Slice 93 of 155
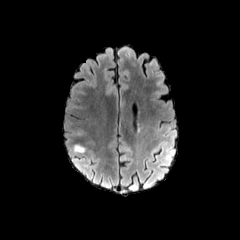
FLAIR magnetic resonance.
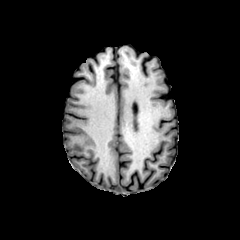
T1-weighted MR image.
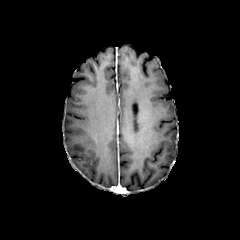
Post-contrast T1-weighted MR image.
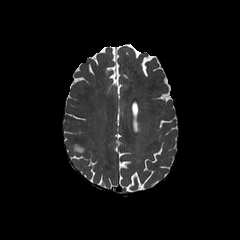
T2-weighted MRI.
peritumoral edema: bounding box 73:145:85:152